240x240 px, Brain
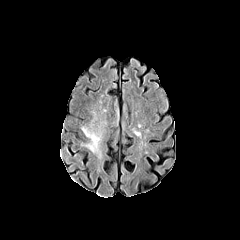
FLAIR MRI.
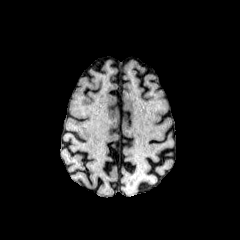
Same slice, T1-weighted magnetic resonance.
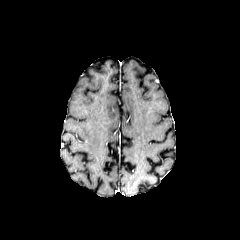
Post-contrast T1-weighted MR image.
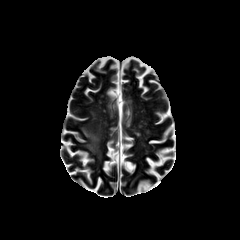
T2-weighted MRI.
peritumoral_edema:
  - box(82, 128, 99, 152)